Head | Image covers 240 mm x 240 mm | Slice index 54
FLAIR MR.
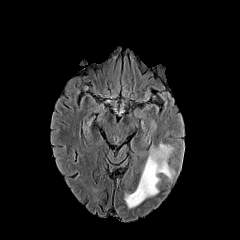
T1-weighted MR.
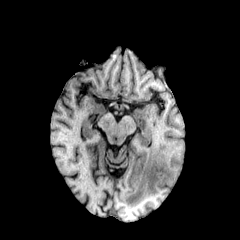
Post-contrast T1-weighted MRI.
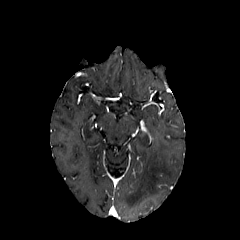
T2-weighted magnetic resonance.
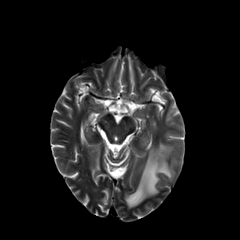
peritumoral_edema:
  - (left=124, top=141, right=174, bottom=208)
  - (left=150, top=120, right=156, bottom=130)